Brain | Slice 116/155 | Image width 240 mm, 1.00 mm slice spacing
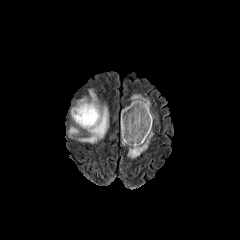
FLAIR MR image.
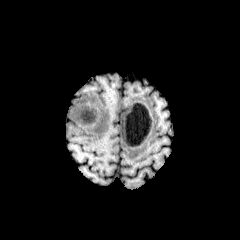
T1-weighted magnetic resonance of the same slice.
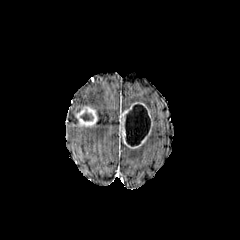
Post-contrast T1-weighted MR image.
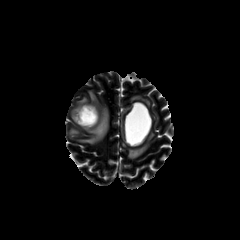
T2-weighted magnetic resonance of the same slice.
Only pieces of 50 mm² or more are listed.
2 enhancing tumor regions are located at [74,105,98,127], [120,102,152,148]. 2 necrotic tumor core regions are located at [125,104,150,146], [81,113,90,120]. The 4 largest peritumoral edema regions are bounded by [131,94,150,109], [128,131,153,158], [69,127,78,136], [71,90,108,143].